Slice index 75. Head. Axial plane. Image covers 240 mm x 240 mm.
FLAIR MR image.
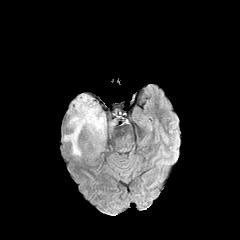
T1-weighted MR image.
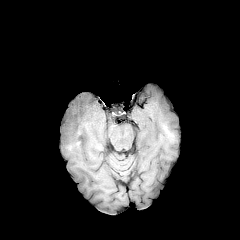
Post-contrast T1-weighted MRI.
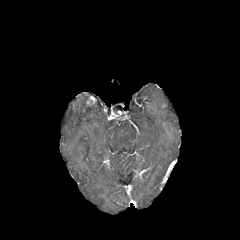
T2-weighted magnetic resonance.
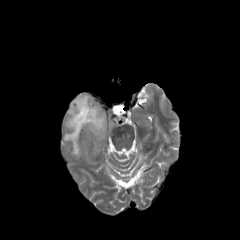
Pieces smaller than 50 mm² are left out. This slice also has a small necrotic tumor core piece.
The peritumoral edema is bounded by box=[64, 94, 105, 155]. The enhancing tumor lies within box=[86, 96, 95, 106].